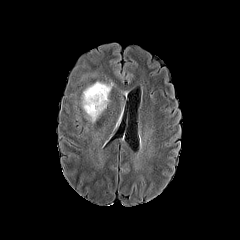
FLAIR magnetic resonance.
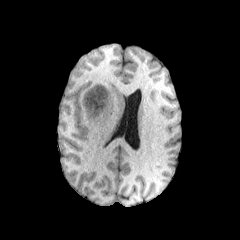
T1-weighted MR image.
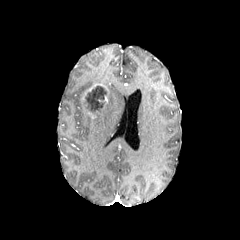
Same slice, post-contrast T1-weighted MRI.
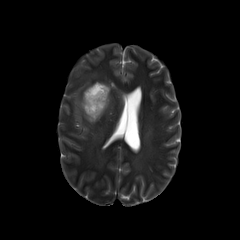
T2-weighted MR of the same slice.
Image size 240x240, Axial slice
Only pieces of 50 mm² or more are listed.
enhancing tumor: <bbox>81, 83, 108, 100</bbox>
necrotic tumor core: <bbox>85, 86, 107, 113</bbox>
peritumoral edema: <bbox>80, 83, 112, 123</bbox>